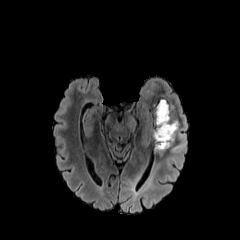
FLAIR MRI.
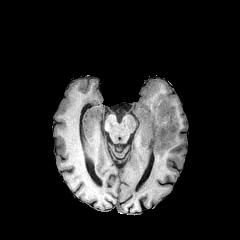
T1-weighted MR image.
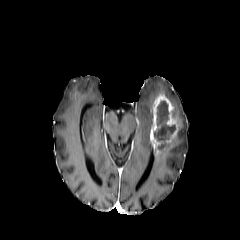
Same slice, post-contrast T1-weighted MR.
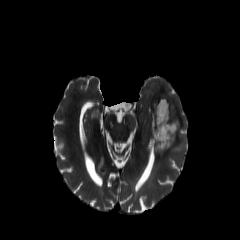
T2-weighted MRI of the same slice.
Axial slice; Head
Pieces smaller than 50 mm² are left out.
peritumoral_edema:
  - region(150, 90, 188, 162)
necrotic_tumor_core:
  - region(154, 101, 175, 140)
enhancing_tumor:
  - region(150, 94, 179, 153)